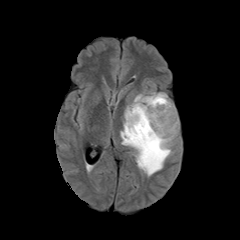
FLAIR MR image.
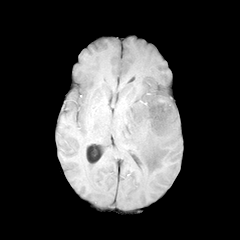
T1-weighted MR image.
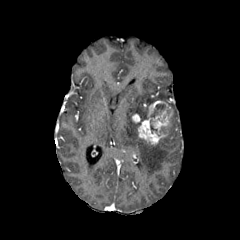
Post-contrast T1-weighted MR image of the same slice.
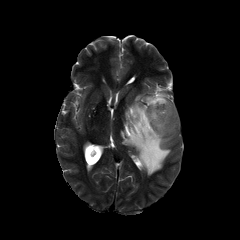
T2-weighted magnetic resonance of the same slice.
Axial view
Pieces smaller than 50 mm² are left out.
Annotated regions:
- enhancing tumor: (138,100,173,144), (132,114,140,123)
- peritumoral edema: (120,86,178,175)
- necrotic tumor core: (150,104,165,117)